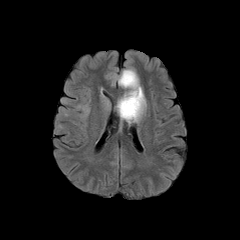
FLAIR MR.
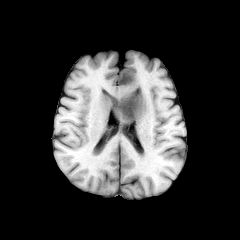
T1-weighted MR image.
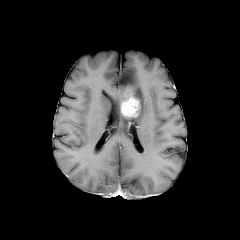
Post-contrast T1-weighted MR image.
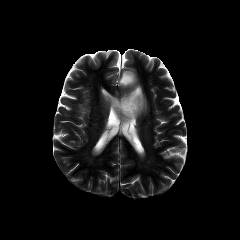
Same slice, T2-weighted MR image.
The peritumoral edema is bounded by left=117, top=69, right=146, bottom=122. The enhancing tumor is at left=120, top=92, right=140, bottom=118.